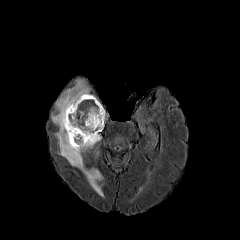
FLAIR MR image.
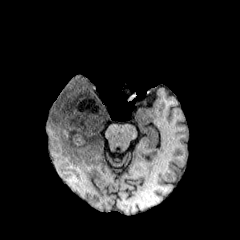
T1-weighted MR of the same slice.
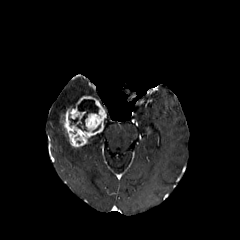
Same slice, post-contrast T1-weighted MR image.
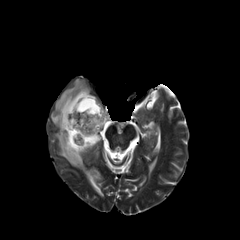
Same slice, T2-weighted magnetic resonance.
Axial plane.
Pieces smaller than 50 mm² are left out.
peritumoral edema — {"x1": 51, "y1": 79, "x2": 103, "y2": 196}
enhancing tumor — {"x1": 60, "y1": 96, "x2": 106, "y2": 147}
necrotic tumor core — {"x1": 77, "y1": 99, "x2": 98, "y2": 130}